240x240. Head.
FLAIR MRI.
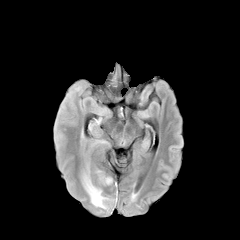
T1-weighted MR.
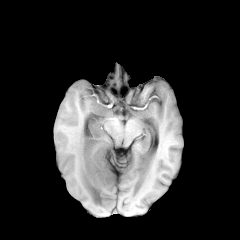
Post-contrast T1-weighted MR.
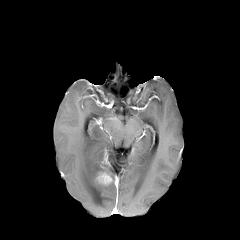
T2-weighted MR.
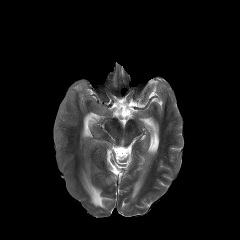
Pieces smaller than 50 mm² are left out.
peritumoral edema at <box>82,165,109,208</box>
enhancing tumor at <box>98,174,111,183</box>